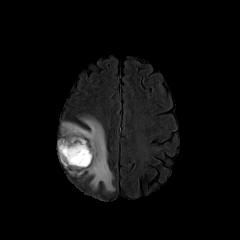
FLAIR MR.
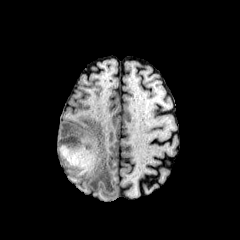
Same slice, T1-weighted MRI.
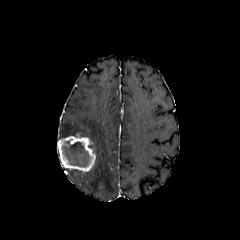
Post-contrast T1-weighted MRI.
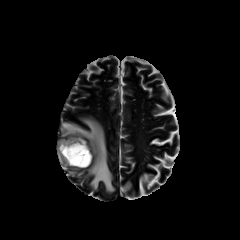
Same slice, T2-weighted MR image.
Image size 240x240. Axial view.
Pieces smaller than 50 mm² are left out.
{"enhancing_tumor": ["[x1=57, y1=133, x2=96, y2=172]"], "necrotic_tumor_core": ["[x1=62, y1=142, x2=89, y2=166]"], "peritumoral_edema": ["[x1=69, y1=169, x2=83, y2=176]", "[x1=61, y1=116, x2=115, y2=192]"]}